FLAIR MRI.
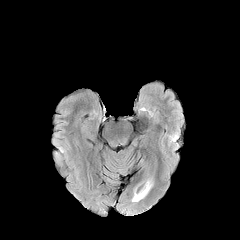
T1-weighted MRI.
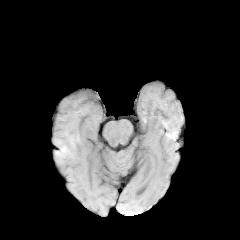
Post-contrast T1-weighted MR image.
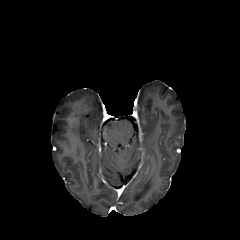
T2-weighted MRI.
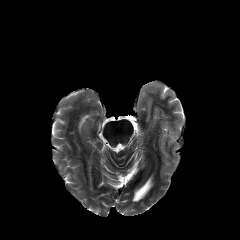
240x240 px, Axial view, Head
The peritumoral edema appears at 132,179,152,201.